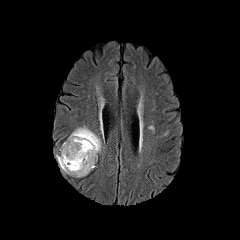
FLAIR MR.
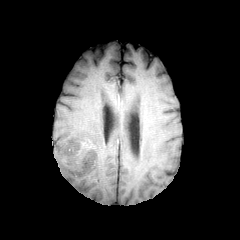
Same slice, T1-weighted magnetic resonance.
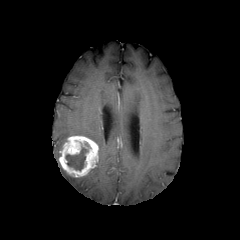
Same slice, post-contrast T1-weighted magnetic resonance.
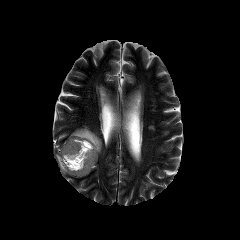
Same slice, T2-weighted MR image.
240x240
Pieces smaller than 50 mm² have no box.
<segmentation>
  <necrotic_tumor_core><box>66,147,87,170</box></necrotic_tumor_core>
  <peritumoral_edema><box>69,126,102,153</box></peritumoral_edema>
  <enhancing_tumor><box>59,135,98,177</box></enhancing_tumor>
</segmentation>